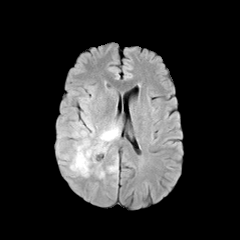
FLAIR magnetic resonance.
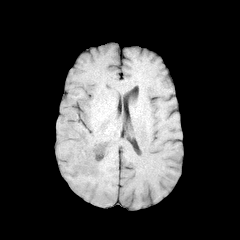
T1-weighted MR of the same slice.
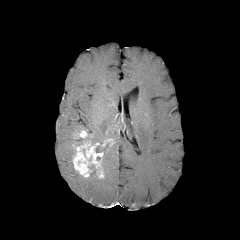
Post-contrast T1-weighted MR image.
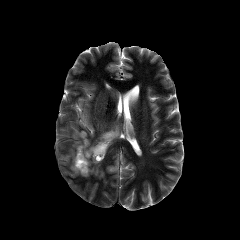
T2-weighted MR image of the same slice.
Brain; Axial plane
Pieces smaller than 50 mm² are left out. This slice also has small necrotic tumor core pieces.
The enhancing tumor appears at [73,130,112,178]. The 4 largest peritumoral edema regions are located at [82,114,94,141], [63,127,82,175], [91,122,120,144], [107,162,117,172].